Head. Slice 98/155.
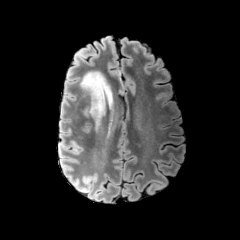
FLAIR magnetic resonance.
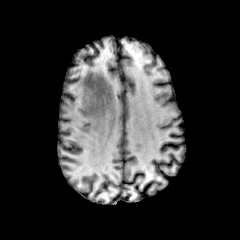
T1-weighted MR image.
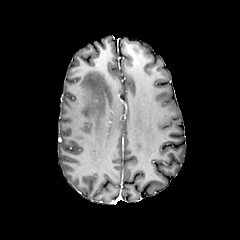
Same slice, post-contrast T1-weighted magnetic resonance.
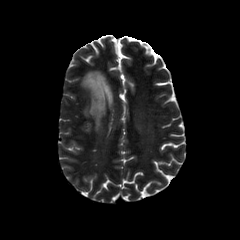
T2-weighted MR image of the same slice.
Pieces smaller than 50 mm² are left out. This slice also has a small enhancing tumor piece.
peritumoral_edema:
  - {"x1": 80, "y1": 71, "x2": 113, "y2": 125}